FLAIR MR image.
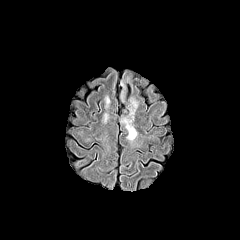
T1-weighted MR image.
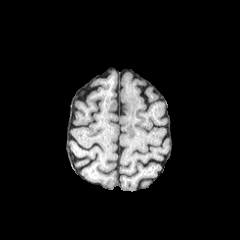
Post-contrast T1-weighted MRI.
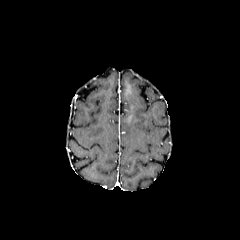
T2-weighted MRI.
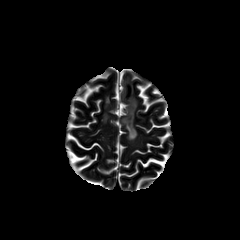
240x240 | Brain
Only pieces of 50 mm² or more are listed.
peritumoral edema = 105, 96, 110, 108; 118, 70, 137, 141